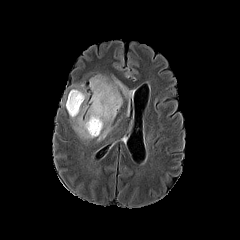
FLAIR MR.
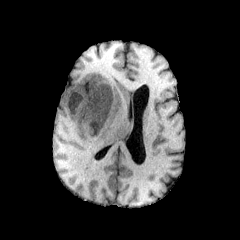
T1-weighted MR.
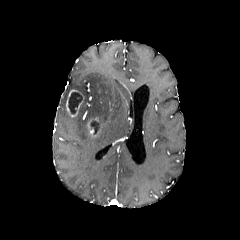
Post-contrast T1-weighted MR.
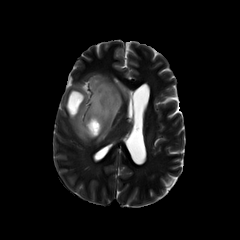
T2-weighted magnetic resonance of the same slice.
<segmentation>
  <peritumoral_edema>x1=70 y1=75 x2=129 y2=141</peritumoral_edema>
  <enhancing_tumor>x1=66 y1=89 x2=84 y2=117, x1=86 y1=117 x2=102 y2=137</enhancing_tumor>
  <necrotic_tumor_core>x1=90 y1=121 x2=100 y2=134, x1=68 y1=92 x2=82 y2=113</necrotic_tumor_core>
</segmentation>